Slice index 106, Head
FLAIR MRI.
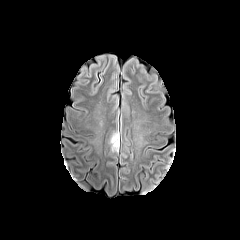
T1-weighted MR.
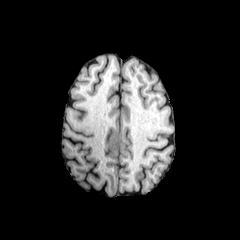
Post-contrast T1-weighted MR image.
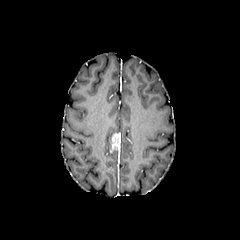
T2-weighted magnetic resonance.
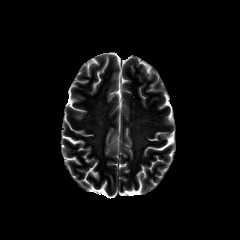
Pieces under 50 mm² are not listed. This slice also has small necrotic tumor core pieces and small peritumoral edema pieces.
The enhancing tumor lies within x1=112, y1=133, x2=118, y2=151.